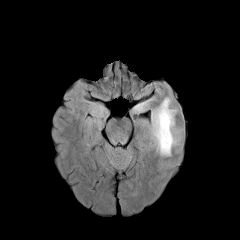
FLAIR MRI.
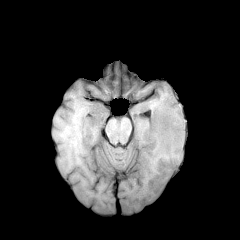
T1-weighted magnetic resonance of the same slice.
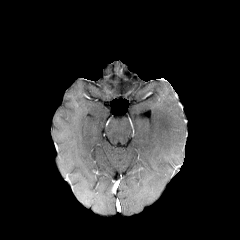
Post-contrast T1-weighted MR.
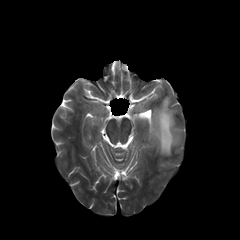
T2-weighted magnetic resonance.
Brain, 240x240
peritumoral edema at rect(130, 98, 150, 113); rect(149, 97, 178, 155)